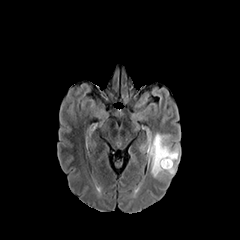
FLAIR MR image.
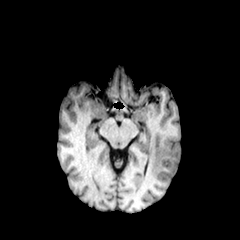
T1-weighted magnetic resonance.
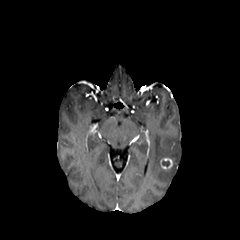
Post-contrast T1-weighted magnetic resonance of the same slice.
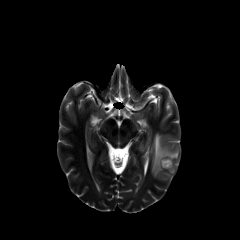
T2-weighted MR image.
Brain
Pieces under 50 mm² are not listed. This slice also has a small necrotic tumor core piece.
peritumoral_edema:
  - box=[151, 133, 180, 180]
enhancing_tumor:
  - box=[160, 158, 172, 169]